Slice 57/155; Axial slice; Image size 240x240
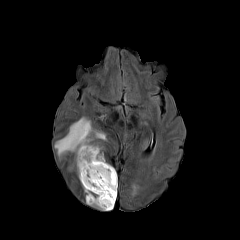
FLAIR MR.
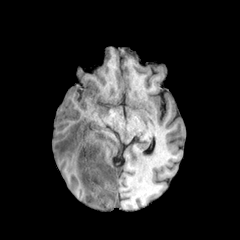
T1-weighted magnetic resonance.
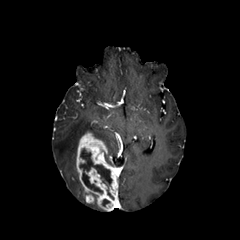
Post-contrast T1-weighted MRI.
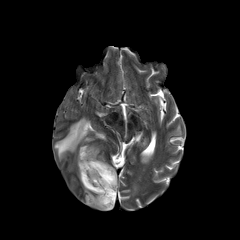
T2-weighted magnetic resonance of the same slice.
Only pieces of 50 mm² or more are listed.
{
  "enhancing_tumor": [
    "x1=76 y1=132 x2=118 y2=211"
  ],
  "necrotic_tumor_core": [
    "x1=80 y1=149 x2=112 y2=193"
  ],
  "peritumoral_edema": [
    "x1=54 y1=117 x2=106 y2=158"
  ]
}